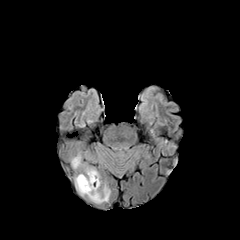
FLAIR MRI.
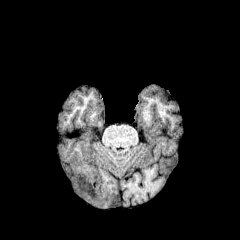
Same slice, T1-weighted magnetic resonance.
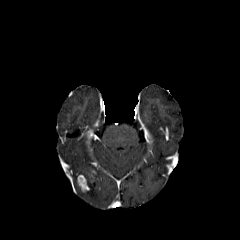
Post-contrast T1-weighted MR.
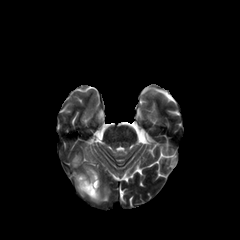
T2-weighted MRI of the same slice.
240x240 px, Brain
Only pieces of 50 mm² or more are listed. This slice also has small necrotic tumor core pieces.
- peritumoral edema: (74,168,110,203), (72,154,81,168)
- enhancing tumor: (77,174,90,192)